Slice 92 of 155. Head. Image size 240x240.
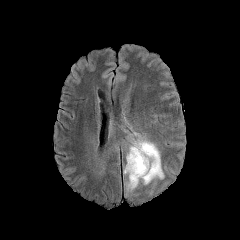
FLAIR magnetic resonance.
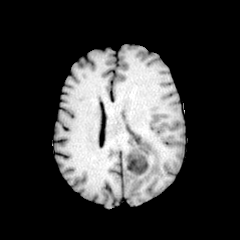
Same slice, T1-weighted MRI.
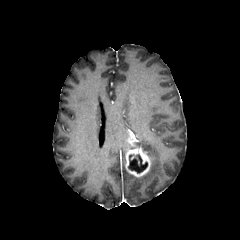
Post-contrast T1-weighted magnetic resonance of the same slice.
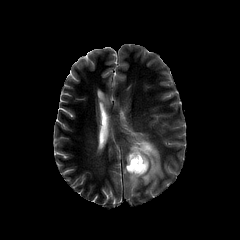
Same slice, T2-weighted MR image.
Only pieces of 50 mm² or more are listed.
enhancing tumor = [125, 136, 151, 177]
necrotic tumor core = [128, 154, 147, 173]
peritumoral edema = [124, 133, 163, 189]